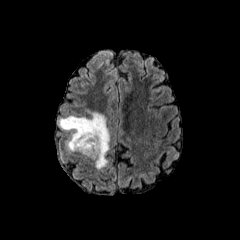
FLAIR MR image.
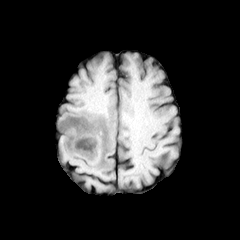
T1-weighted MRI of the same slice.
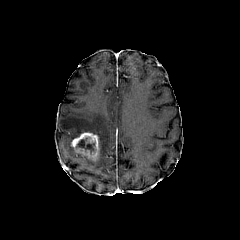
Post-contrast T1-weighted magnetic resonance of the same slice.
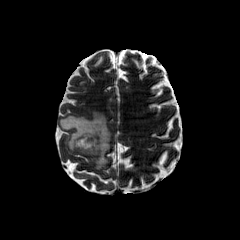
Same slice, T2-weighted magnetic resonance.
240x240 px
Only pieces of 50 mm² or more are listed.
The necrotic tumor core is located at rect(76, 139, 94, 151). The enhancing tumor is located at rect(71, 132, 99, 160). The largest peritumoral edema region is at rect(59, 112, 110, 169).